Axial view | Head | Image width 240 mm, 1.00 mm slice spacing
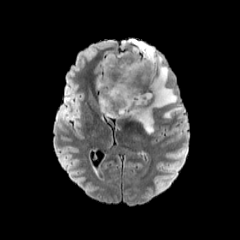
FLAIR MR.
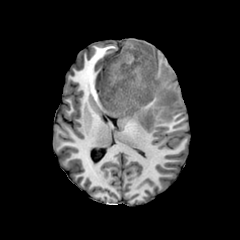
T1-weighted MRI.
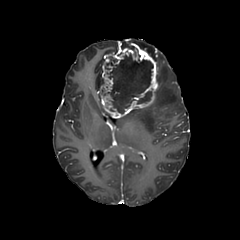
Post-contrast T1-weighted MR of the same slice.
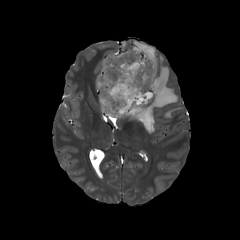
T2-weighted magnetic resonance of the same slice.
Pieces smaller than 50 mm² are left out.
Annotated regions:
- peritumoral edema: [126,55,177,133], [96,73,101,89], [164,108,181,118], [122,39,156,61]
- enhancing tumor: [99,44,158,118]
- necrotic tumor core: [137,91,151,103], [105,54,152,113]